Image size 240x240 | Axial plane | Slice 119/155
FLAIR MR image.
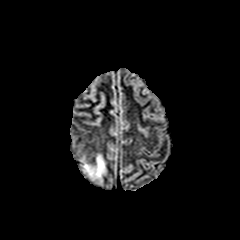
T1-weighted MRI.
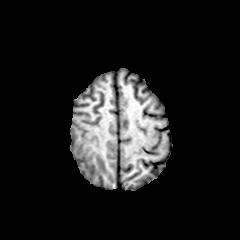
Post-contrast T1-weighted MRI.
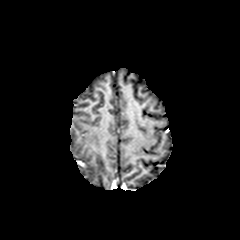
T2-weighted MRI.
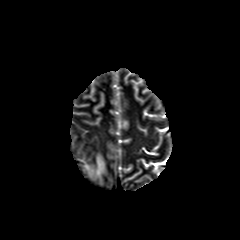
peritumoral edema: bbox(84, 155, 104, 177)